Axial view. Image width 240 mm, 1.00 mm slice spacing.
FLAIR magnetic resonance.
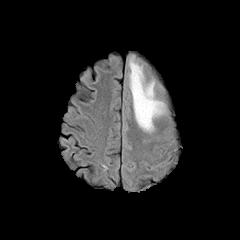
T1-weighted MRI.
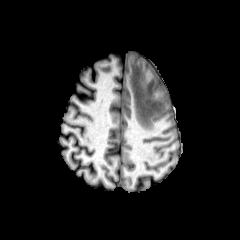
Post-contrast T1-weighted MR.
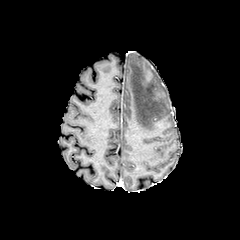
T2-weighted MR.
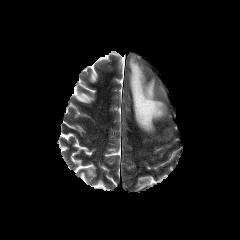
peritumoral edema = 129:55:165:131